Slice index 68
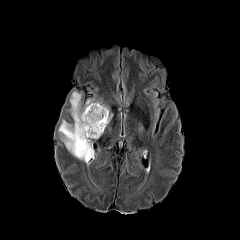
FLAIR MR image.
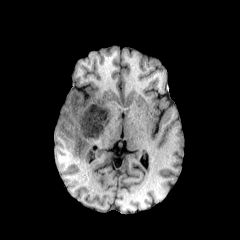
T1-weighted MRI.
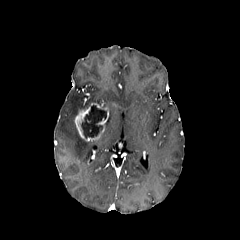
Post-contrast T1-weighted MRI.
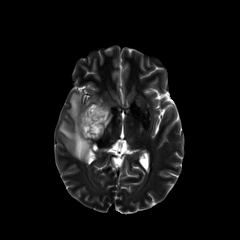
T2-weighted MR image of the same slice.
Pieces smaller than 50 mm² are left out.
Annotated regions:
* peritumoral edema: left=85, top=94, right=101, bottom=106; left=58, top=91, right=92, bottom=164
* necrotic tumor core: left=80, top=105, right=106, bottom=138
* enhancing tumor: left=75, top=103, right=108, bottom=141